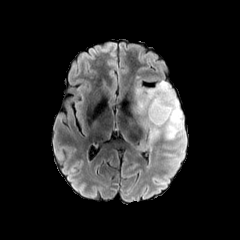
FLAIR MR.
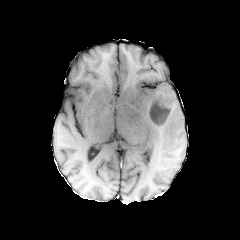
T1-weighted MRI of the same slice.
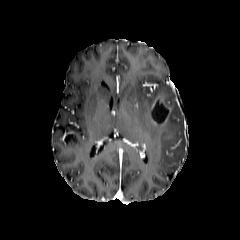
Post-contrast T1-weighted MR image.
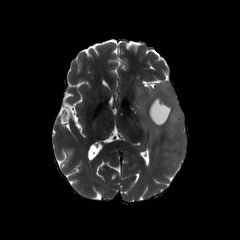
Same slice, T2-weighted MRI.
Axial slice, Brain
The enhancing tumor is bounded by (x1=149, y1=98, x2=170, y2=124). The peritumoral edema appears at (x1=129, y1=81, x2=183, y2=153). The necrotic tumor core appears at (x1=151, y1=100, x2=168, y2=123).